FLAIR MRI.
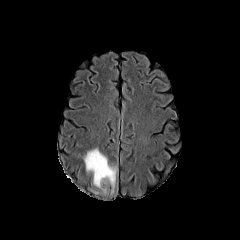
T1-weighted MRI.
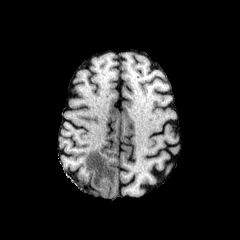
Post-contrast T1-weighted magnetic resonance.
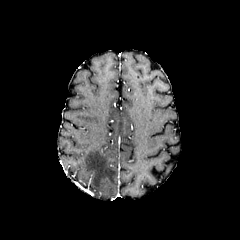
T2-weighted MR image.
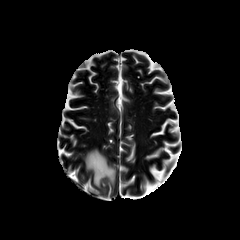
Head, Axial view
<segmentation>
  <peritumoral_edema>[84, 146, 118, 195]</peritumoral_edema>
</segmentation>